Brain; Image covers 240 mm x 240 mm
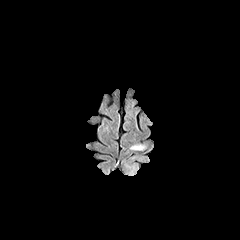
FLAIR MR.
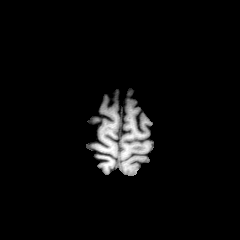
T1-weighted MRI of the same slice.
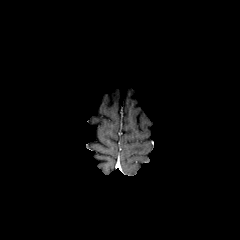
Post-contrast T1-weighted MR image.
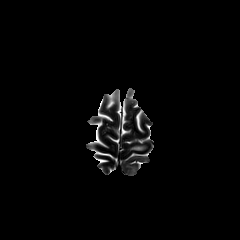
T2-weighted magnetic resonance.
The peritumoral edema is bounded by [x1=130, y1=143, x2=146, y2=150].